FLAIR magnetic resonance.
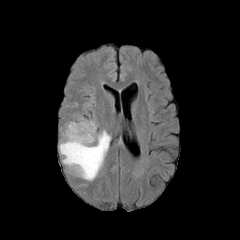
T1-weighted MR image.
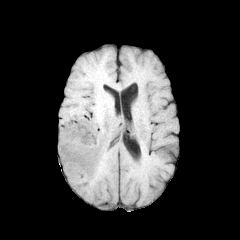
Post-contrast T1-weighted magnetic resonance.
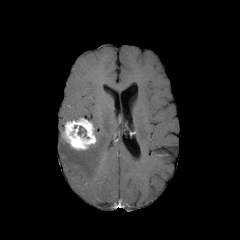
T2-weighted magnetic resonance.
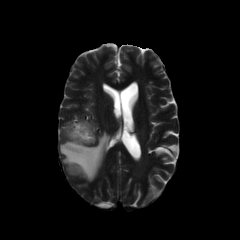
Brain. Axial slice. Image size 240x240.
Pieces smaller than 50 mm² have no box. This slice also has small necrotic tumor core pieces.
peritumoral edema: (left=59, top=130, right=110, bottom=181) | enhancing tumor: (left=62, top=118, right=96, bottom=150)